Axial slice
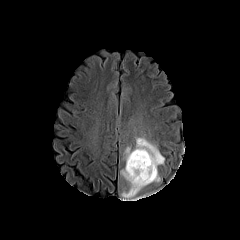
FLAIR MR.
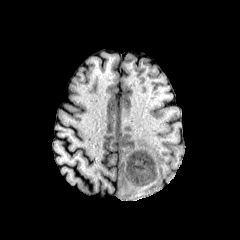
Same slice, T1-weighted magnetic resonance.
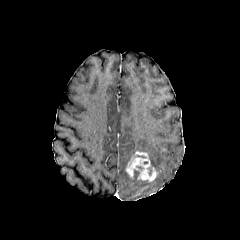
Post-contrast T1-weighted MR image.
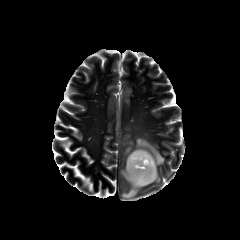
T2-weighted MRI of the same slice.
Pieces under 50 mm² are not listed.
necrotic tumor core at {"x1": 133, "y1": 170, "x2": 147, "y2": 181}
enhancing tumor at {"x1": 126, "y1": 151, "x2": 156, "y2": 181}
peritumoral edema at {"x1": 120, "y1": 166, "x2": 152, "y2": 199}, {"x1": 124, "y1": 137, "x2": 164, "y2": 182}